FLAIR magnetic resonance.
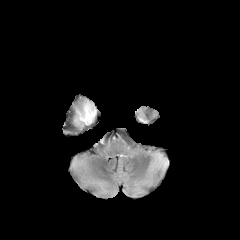
T1-weighted MR image.
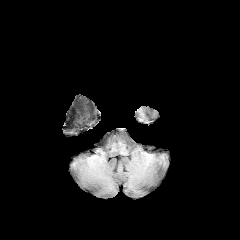
Post-contrast T1-weighted MR.
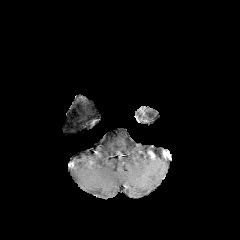
T2-weighted MR image.
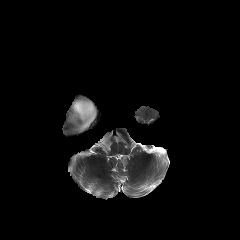
Axial plane.
• peritumoral edema: region(74, 100, 96, 128)